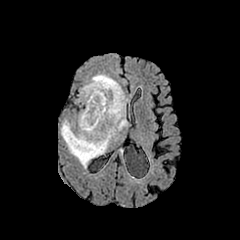
FLAIR MR.
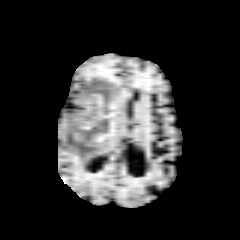
Same slice, T1-weighted MR.
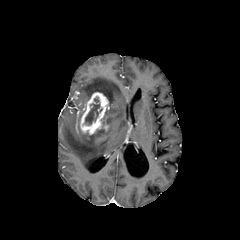
Post-contrast T1-weighted MR.
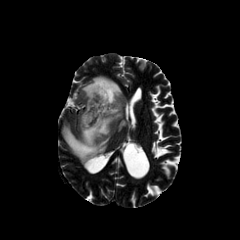
T2-weighted MR image.
240x240. Brain. Axial view.
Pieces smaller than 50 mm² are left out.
peritumoral_edema:
  - box=[61, 75, 127, 168]
enhancing_tumor:
  - box=[79, 92, 109, 135]
necrotic_tumor_core:
  - box=[84, 97, 102, 125]